Slice 106/155; Axial slice
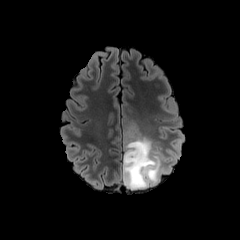
FLAIR MR.
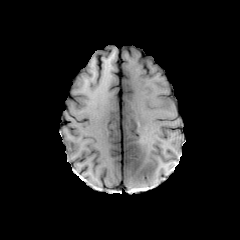
T1-weighted MR image.
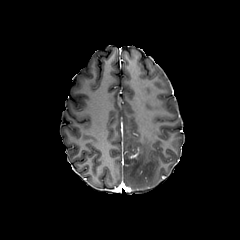
Post-contrast T1-weighted magnetic resonance of the same slice.
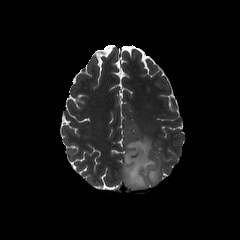
T2-weighted magnetic resonance of the same slice.
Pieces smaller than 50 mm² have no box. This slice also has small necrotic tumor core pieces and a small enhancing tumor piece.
peritumoral_edema:
  - 122 133 167 189